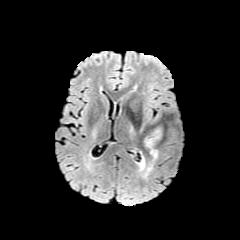
FLAIR MR.
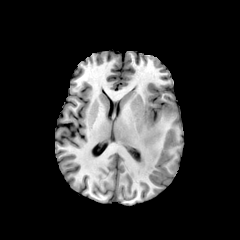
T1-weighted magnetic resonance of the same slice.
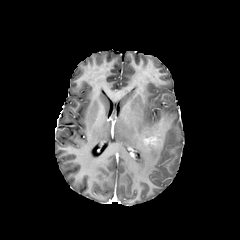
Post-contrast T1-weighted MR.
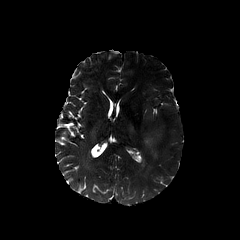
T2-weighted magnetic resonance.
Axial plane, Brain
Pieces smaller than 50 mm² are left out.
The 2 largest peritumoral edema regions are located at (left=146, top=144, right=157, bottom=159), (left=139, top=157, right=145, bottom=170). The enhancing tumor is located at (left=144, top=136, right=157, bottom=144).